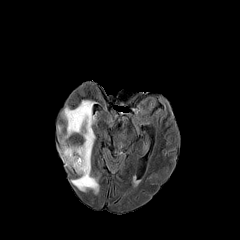
FLAIR MR.
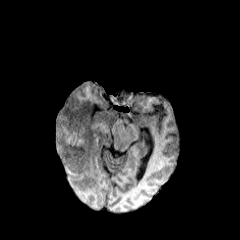
Same slice, T1-weighted magnetic resonance.
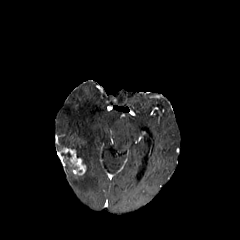
Post-contrast T1-weighted magnetic resonance of the same slice.
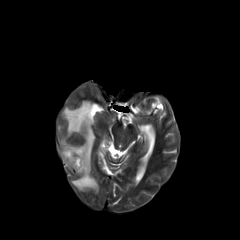
T2-weighted magnetic resonance.
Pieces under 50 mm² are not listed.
{"necrotic_tumor_core": ["bbox(61, 152, 71, 164)"], "peritumoral_edema": ["bbox(132, 175, 140, 186)", "bbox(62, 100, 99, 193)"], "enhancing_tumor": ["bbox(58, 147, 86, 175)"]}